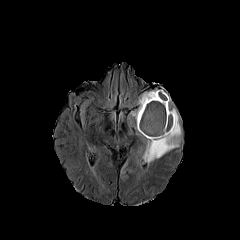
FLAIR MR.
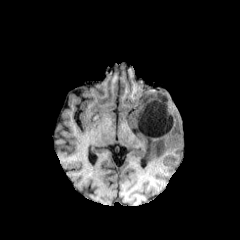
T1-weighted MRI.
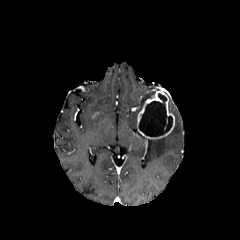
Post-contrast T1-weighted MR of the same slice.
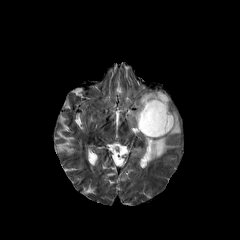
T2-weighted MR.
Axial view
<segmentation>
  <necrotic_tumor_core>region(139, 93, 172, 136)</necrotic_tumor_core>
  <enhancing_tumor>region(137, 90, 174, 139)</enhancing_tumor>
  <peritumoral_edema>region(128, 91, 155, 127); region(145, 107, 181, 163)</peritumoral_edema>
</segmentation>